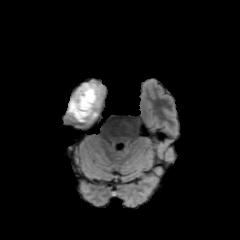
FLAIR MRI.
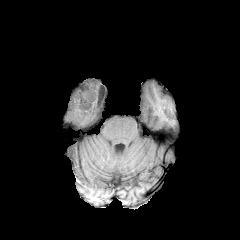
T1-weighted MRI of the same slice.
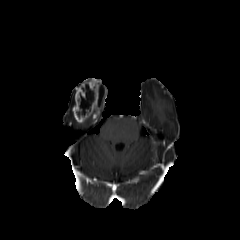
Post-contrast T1-weighted MRI.
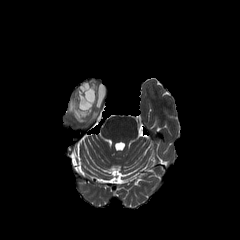
Same slice, T2-weighted magnetic resonance.
240x240 px
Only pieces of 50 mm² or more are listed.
{"peritumoral_edema": ["left=68, top=93, right=74, bottom=116"], "necrotic_tumor_core": ["left=77, top=84, right=94, bottom=117", "left=98, top=85, right=104, bottom=105"], "enhancing_tumor": ["left=72, top=78, right=101, bottom=123"]}